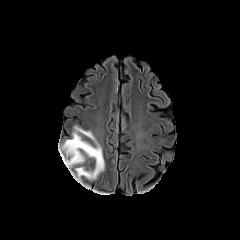
FLAIR MR image.
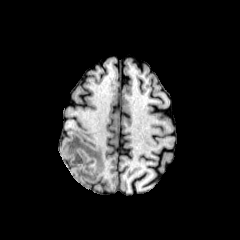
T1-weighted MR.
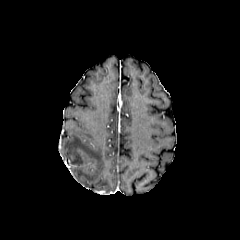
Post-contrast T1-weighted MRI.
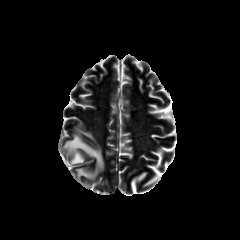
T2-weighted MR image.
Image size 240x240 | Axial plane
peritumoral edema = x1=60, y1=126, x2=104, y2=181